Head | Slice 94/155
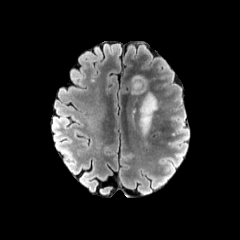
FLAIR MR.
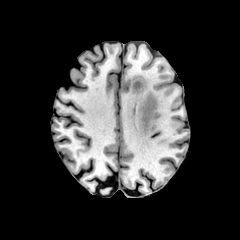
T1-weighted magnetic resonance.
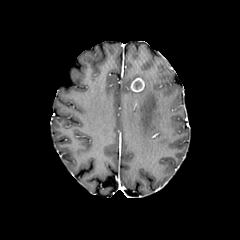
Post-contrast T1-weighted MR image.
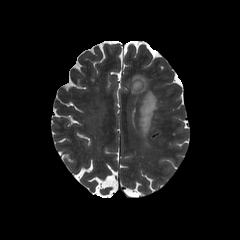
T2-weighted MR image of the same slice.
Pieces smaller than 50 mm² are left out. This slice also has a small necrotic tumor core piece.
2 peritumoral edema regions are located at bbox(140, 91, 157, 135); bbox(132, 75, 146, 94). The enhancing tumor is at bbox(131, 78, 144, 92).